240x240 px, Image width 240 mm, 1.00 mm slice spacing
FLAIR MRI.
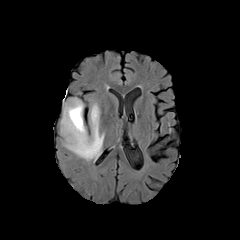
T1-weighted magnetic resonance.
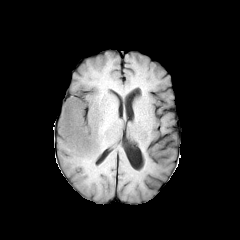
Post-contrast T1-weighted MR image.
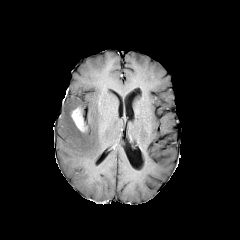
T2-weighted MR.
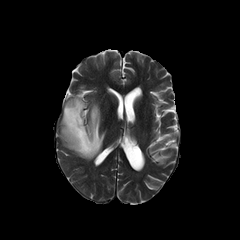
{
  "peritumoral_edema": [
    "[60, 97, 104, 160]"
  ],
  "enhancing_tumor": [
    "[71, 107, 86, 131]"
  ]
}